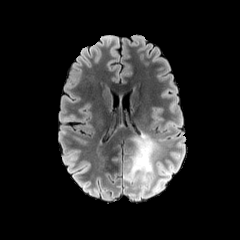
FLAIR MR image.
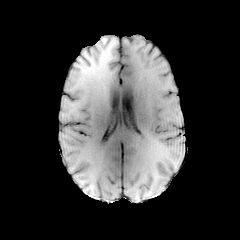
T1-weighted magnetic resonance of the same slice.
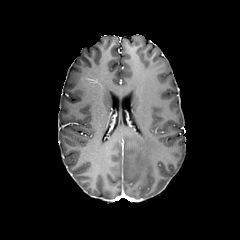
Post-contrast T1-weighted magnetic resonance.
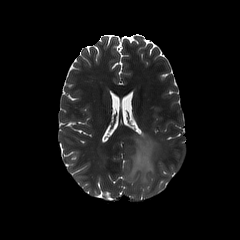
T2-weighted MR.
Image size 240x240 | Brain
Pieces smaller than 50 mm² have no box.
peritumoral_edema:
  - (124,134,157,191)
  - (153,179,165,191)